Slice index 133; Image size 240x240; Brain
FLAIR MRI.
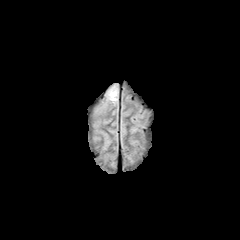
T1-weighted magnetic resonance.
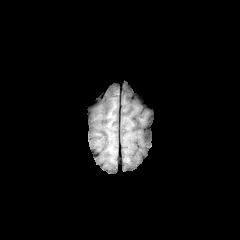
Post-contrast T1-weighted MRI.
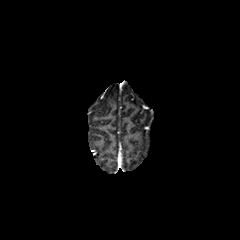
T2-weighted MR image.
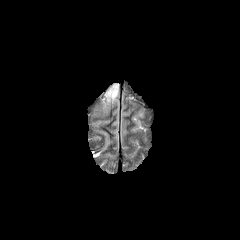
peritumoral_edema:
  - region(105, 85, 118, 102)